Brain | Axial view | Slice index 32
FLAIR MRI.
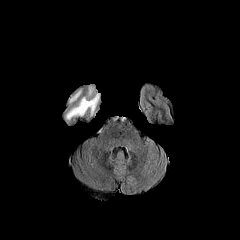
T1-weighted magnetic resonance.
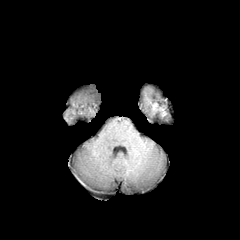
Post-contrast T1-weighted MRI.
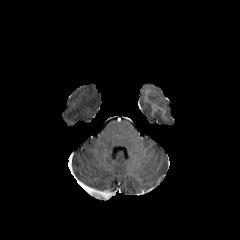
T2-weighted MRI.
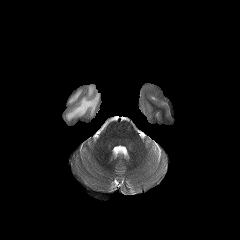
<segmentation>
  <peritumoral_edema>[x1=69, y1=90, x2=81, y2=103], [x1=65, y1=86, x2=99, y2=120]</peritumoral_edema>
</segmentation>